Head. Slice 69 of 155. 240x240 px.
FLAIR MR.
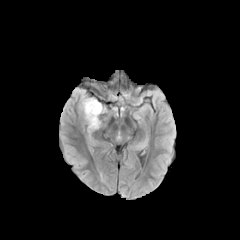
T1-weighted MRI.
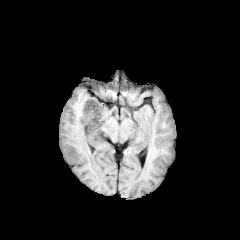
Post-contrast T1-weighted magnetic resonance.
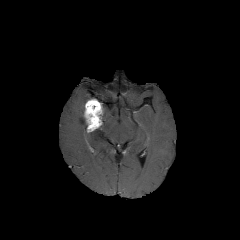
T2-weighted MR image.
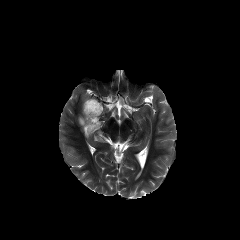
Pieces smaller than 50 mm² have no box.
Annotated regions:
- enhancing tumor: 83, 97, 105, 132
- peritumoral edema: 76, 95, 87, 123